Axial plane | Brain | Image size 240x240
FLAIR magnetic resonance.
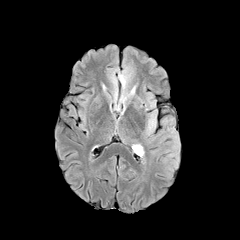
T1-weighted MR image.
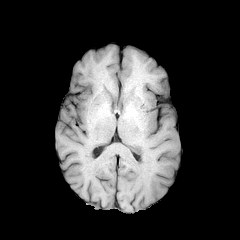
Post-contrast T1-weighted MRI.
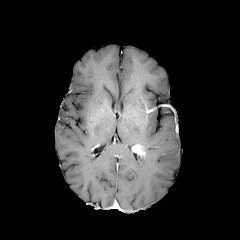
T2-weighted MRI.
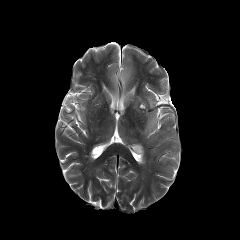
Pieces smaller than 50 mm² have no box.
The enhancing tumor is at {"x1": 132, "y1": 144, "x2": 144, "y2": 156}. The 2 largest peritumoral edema regions are bounded by {"x1": 146, "y1": 113, "x2": 155, "y2": 134}, {"x1": 148, "y1": 96, "x2": 154, "y2": 107}.